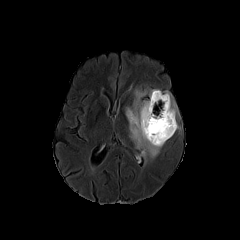
FLAIR magnetic resonance.
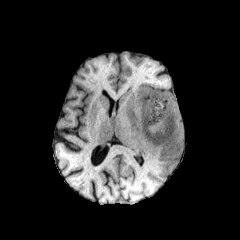
Same slice, T1-weighted MRI.
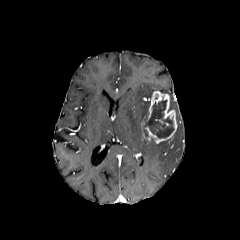
Same slice, post-contrast T1-weighted magnetic resonance.
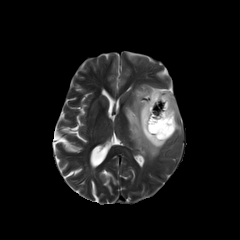
T2-weighted MR.
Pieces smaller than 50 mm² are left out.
necrotic tumor core — (x1=143, y1=100, x2=173, y2=138)
enhancing tumor — (x1=141, y1=91, x2=177, y2=143)
peritumoral edema — (x1=125, y1=89, x2=165, y2=158), (x1=161, y1=91, x2=179, y2=119)